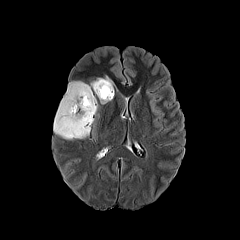
FLAIR MR.
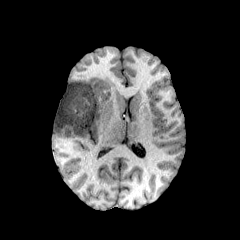
Same slice, T1-weighted MR.
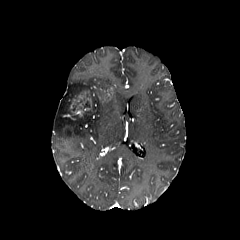
Same slice, post-contrast T1-weighted MR image.
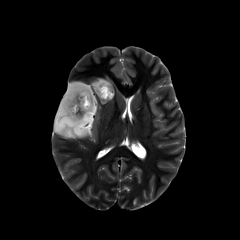
T2-weighted MRI.
Head
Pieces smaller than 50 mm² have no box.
enhancing tumor = region(69, 90, 92, 117); region(98, 87, 112, 101)
necrotic tumor core = region(96, 84, 107, 98); region(72, 95, 94, 132)
peritumoral edema = region(53, 76, 113, 139)